FLAIR MRI.
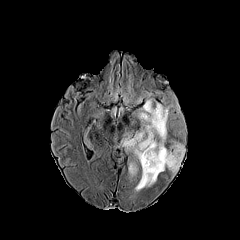
T1-weighted magnetic resonance.
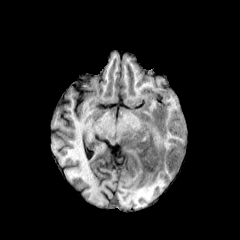
Post-contrast T1-weighted MRI.
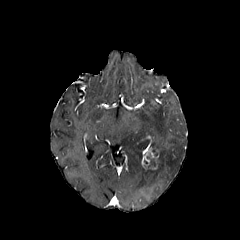
T2-weighted magnetic resonance.
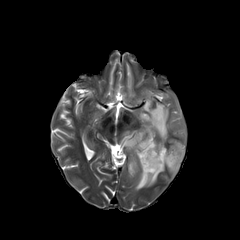
240x240 px
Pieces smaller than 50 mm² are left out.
Segmented structures:
- necrotic tumor core: 147 154 157 167
- enhancing tumor: 141 144 160 170
- peritumoral edema: 128 162 137 176, 121 97 184 190